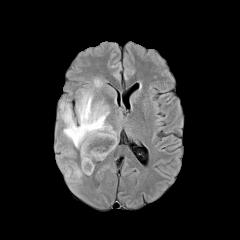
FLAIR magnetic resonance.
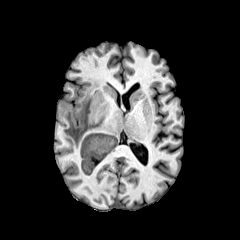
Same slice, T1-weighted MR image.
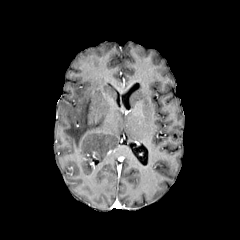
Post-contrast T1-weighted MRI of the same slice.
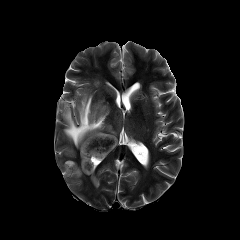
T2-weighted MR image of the same slice.
Image size 240x240, Head
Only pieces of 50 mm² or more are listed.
peritumoral edema: x1=73 y1=165 x2=81 y2=177, x1=93 y1=77 x2=101 y2=86, x1=61 y1=90 x2=117 y2=174